FLAIR magnetic resonance.
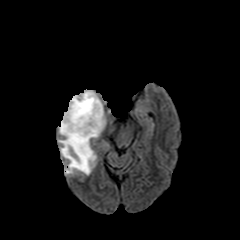
T1-weighted MR image.
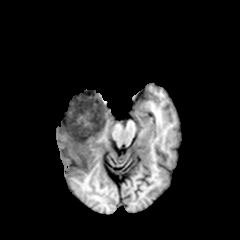
Post-contrast T1-weighted MR.
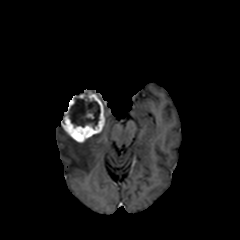
T2-weighted MRI.
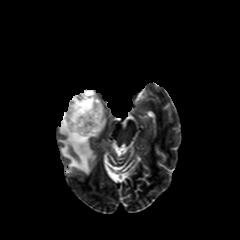
Brain; 240x240; Axial plane
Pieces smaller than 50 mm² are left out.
Findings:
- enhancing tumor: x1=61, y1=90, x2=105, y2=142
- peritumoral edema: x1=58, y1=126, x2=99, y2=175
- necrotic tumor core: x1=69, y1=98, x2=100, y2=128